Head. 240x240 px. Slice 78/155.
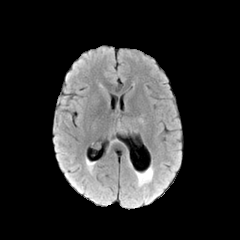
FLAIR MRI.
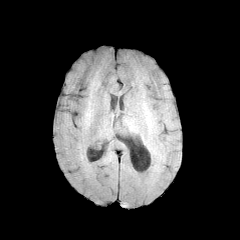
T1-weighted MR image.
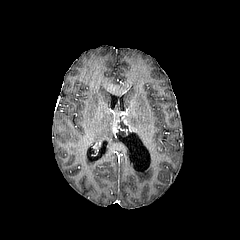
Post-contrast T1-weighted MR of the same slice.
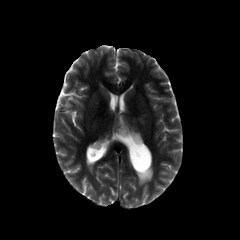
T2-weighted MRI.
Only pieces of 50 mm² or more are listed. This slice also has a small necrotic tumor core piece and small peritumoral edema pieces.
{"enhancing_tumor": ["<box>112,113,124,133</box>", "<box>121,118,135,131</box>"]}